FLAIR MR.
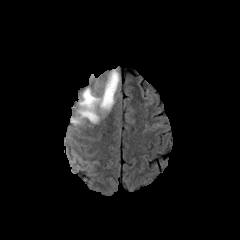
T1-weighted magnetic resonance.
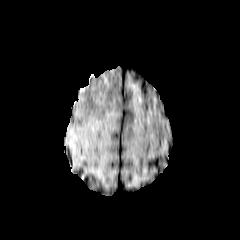
Post-contrast T1-weighted MR.
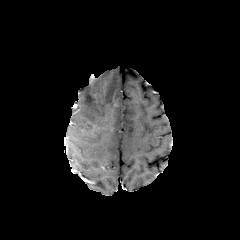
T2-weighted MR image.
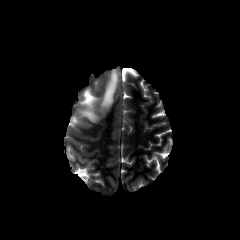
Brain
The peritumoral edema is at 78, 71, 119, 120.